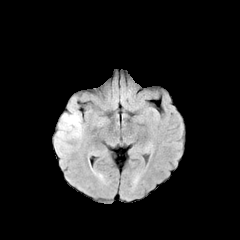
FLAIR MR.
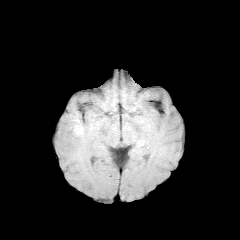
T1-weighted MRI.
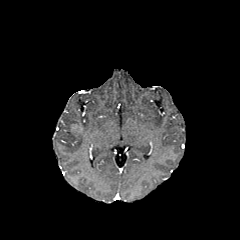
Same slice, post-contrast T1-weighted MR image.
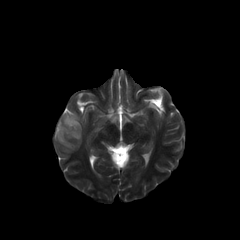
T2-weighted MR image.
Head; Axial view
The peritumoral edema lies within <box>54,96,84,155</box>. The enhancing tumor lies within <box>71,124,80,132</box>.